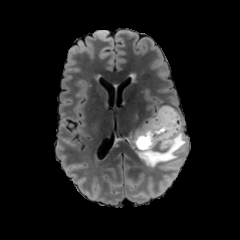
FLAIR MR image.
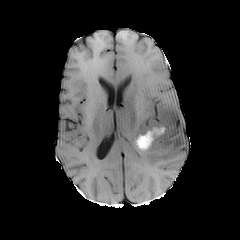
Same slice, T1-weighted MR image.
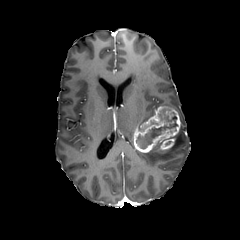
Post-contrast T1-weighted magnetic resonance.
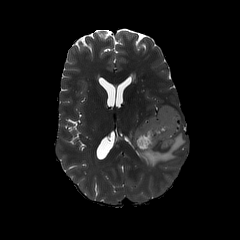
T2-weighted MRI of the same slice.
Axial plane.
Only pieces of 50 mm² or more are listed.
The largest necrotic tumor core region lies within {"x1": 138, "y1": 115, "x2": 177, "y2": 148}. The enhancing tumor is at {"x1": 133, "y1": 106, "x2": 180, "y2": 153}. The largest peritumoral edema region lies within {"x1": 137, "y1": 115, "x2": 186, "y2": 167}.